Head; 240x240 px
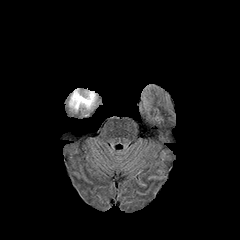
FLAIR MR image.
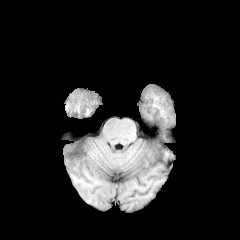
T1-weighted MRI.
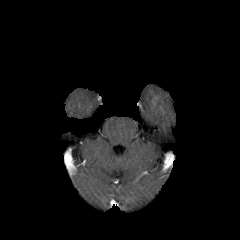
Post-contrast T1-weighted MR.
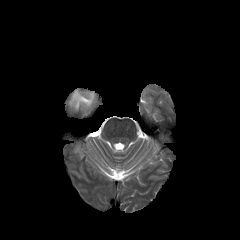
T2-weighted MR of the same slice.
The peritumoral edema is bounded by [x1=69, y1=89, x2=95, y2=110].